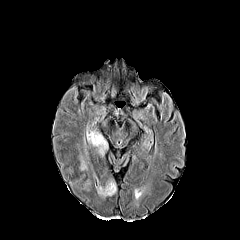
FLAIR MR.
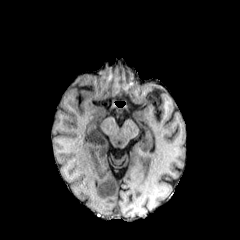
Same slice, T1-weighted MRI.
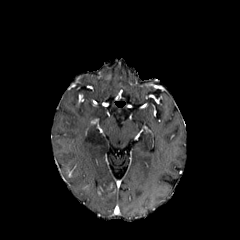
Post-contrast T1-weighted MR.
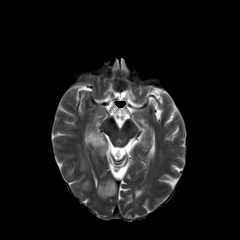
Same slice, T2-weighted MR image.
240x240, Head
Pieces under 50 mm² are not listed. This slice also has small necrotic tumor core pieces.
enhancing_tumor:
  - bbox=[97, 182, 115, 195]
peritumoral_edema:
  - bbox=[87, 125, 107, 155]
  - bbox=[81, 161, 86, 170]